FLAIR magnetic resonance.
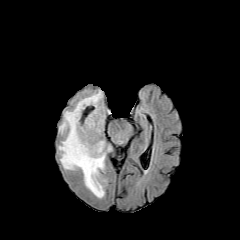
T1-weighted magnetic resonance.
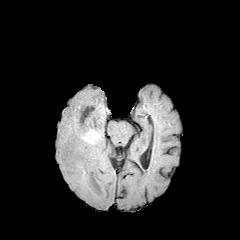
Post-contrast T1-weighted MRI.
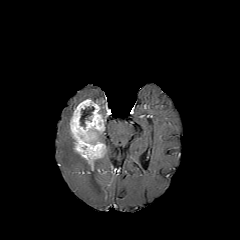
T2-weighted MR.
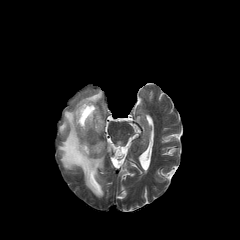
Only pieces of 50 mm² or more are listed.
The enhancing tumor is located at x1=69 y1=99 x2=106 y2=170. The largest peritumoral edema region appears at x1=58 y1=89 x2=112 y2=198. The necrotic tumor core is bounded by x1=80 y1=106 x2=94 y2=126.